FLAIR magnetic resonance.
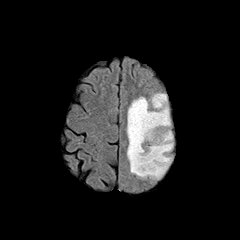
T1-weighted MR.
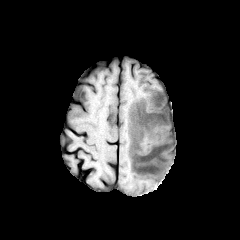
Post-contrast T1-weighted MR image.
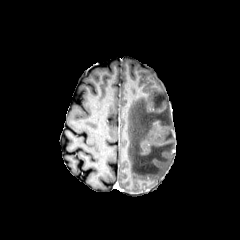
T2-weighted MR.
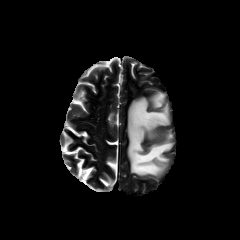
Brain.
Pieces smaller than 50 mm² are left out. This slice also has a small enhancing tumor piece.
The peritumoral edema lies within bbox(127, 92, 173, 179).